240x240 px; Axial view; Head
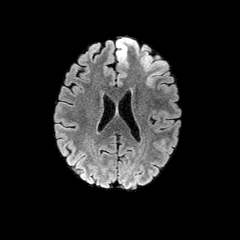
FLAIR MR.
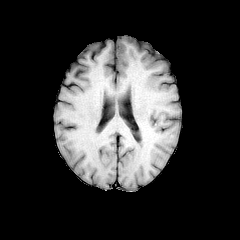
T1-weighted magnetic resonance.
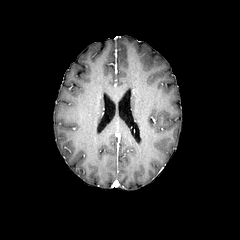
Post-contrast T1-weighted MR image.
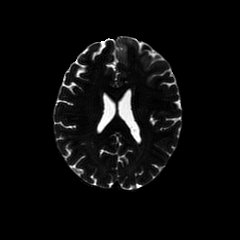
T2-weighted MR.
peritumoral edema: 116:38:139:65, 147:72:159:84